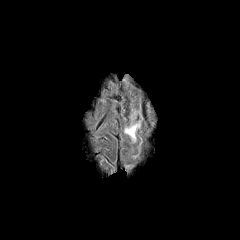
FLAIR MRI.
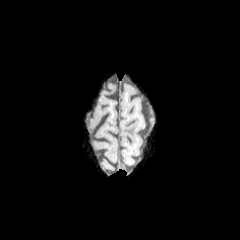
T1-weighted MR image.
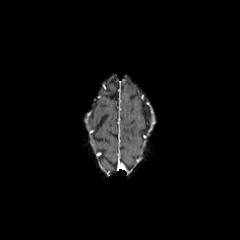
Same slice, post-contrast T1-weighted MR.
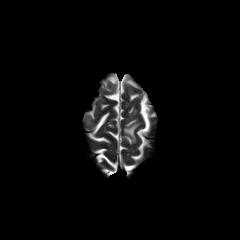
T2-weighted magnetic resonance of the same slice.
240x240.
The peritumoral edema appears at l=124, t=124, r=138, b=141.